FLAIR MR image.
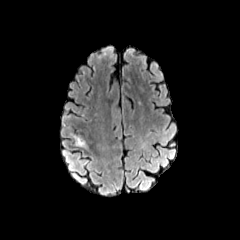
T1-weighted MRI.
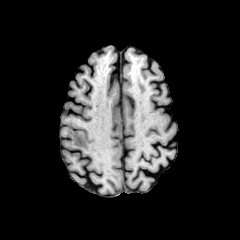
Post-contrast T1-weighted MR image.
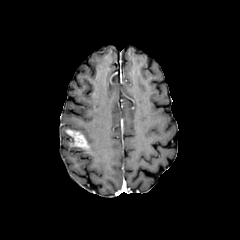
T2-weighted MR image.
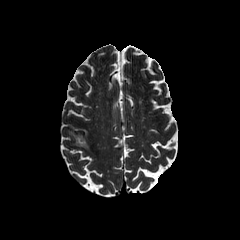
Axial slice, 240x240
enhancing tumor: [x1=66, y1=129, x2=88, y2=149]